Axial view. Image covers 240 mm x 240 mm. Head.
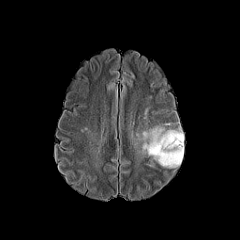
FLAIR MR.
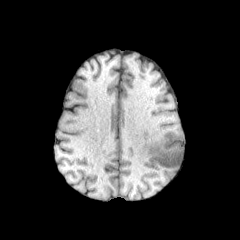
T1-weighted MRI.
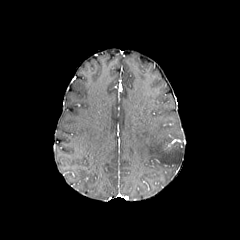
Same slice, post-contrast T1-weighted MR image.
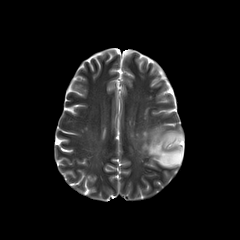
T2-weighted MRI.
Findings:
- peritumoral edema: box=[142, 126, 183, 167]